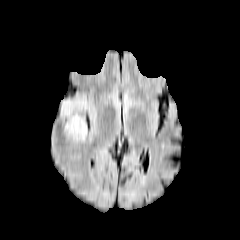
FLAIR MRI.
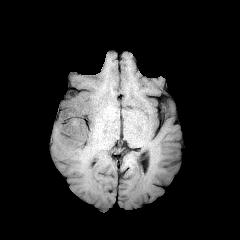
T1-weighted magnetic resonance.
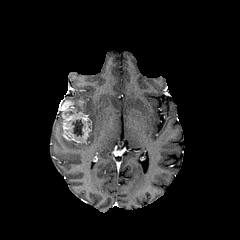
Post-contrast T1-weighted MRI of the same slice.
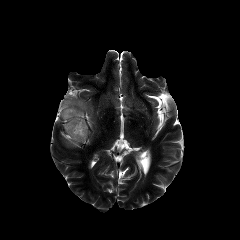
T2-weighted MR.
Axial view. 240x240. Head.
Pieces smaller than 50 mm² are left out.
enhancing tumor — bbox=[59, 99, 90, 142]
peritumoral edema — bbox=[72, 98, 87, 112]
necrotic tumor core — bbox=[72, 119, 83, 136]